FLAIR MR image.
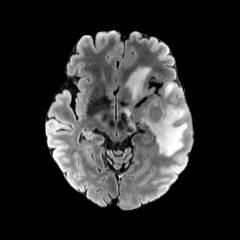
T1-weighted magnetic resonance.
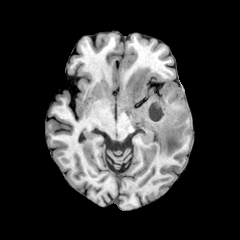
Post-contrast T1-weighted magnetic resonance.
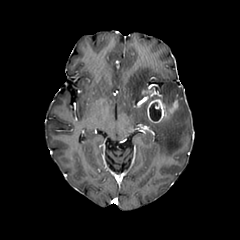
T2-weighted magnetic resonance.
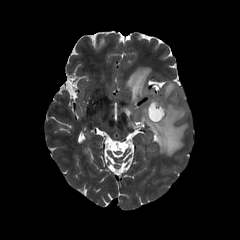
Brain.
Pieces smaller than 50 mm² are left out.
<segmentation>
  <necrotic_tumor_core>rect(149, 102, 161, 120)</necrotic_tumor_core>
  <enhancing_tumor>rect(142, 88, 154, 96); rect(147, 98, 178, 122)</enhancing_tumor>
  <peritumoral_edema>rect(123, 108, 131, 117); rect(164, 82, 182, 97); rect(126, 67, 150, 102); rect(141, 104, 187, 156)</peritumoral_edema>
</segmentation>